FLAIR MR.
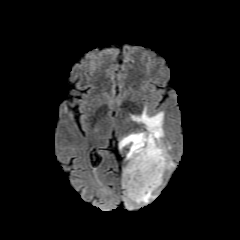
T1-weighted MRI.
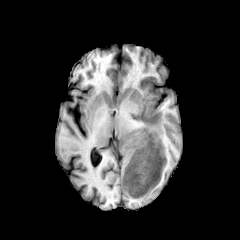
Post-contrast T1-weighted magnetic resonance.
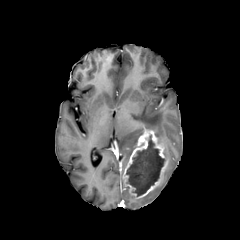
T2-weighted magnetic resonance.
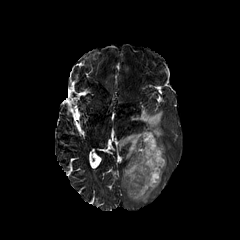
Axial slice
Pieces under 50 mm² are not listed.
Annotated regions:
• necrotic tumor core: [126, 135, 165, 196]
• enhancing tumor: [123, 129, 167, 198]
• peritumoral edema: [131, 107, 164, 142], [119, 132, 142, 160], [126, 186, 158, 204], [164, 145, 173, 169]